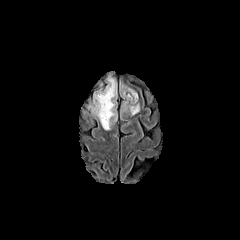
FLAIR MR.
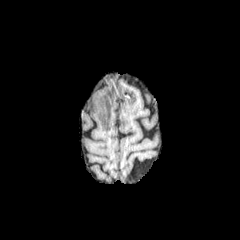
Same slice, T1-weighted MR.
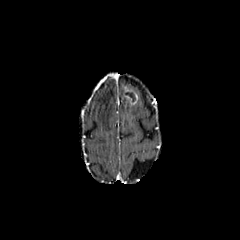
Post-contrast T1-weighted MRI of the same slice.
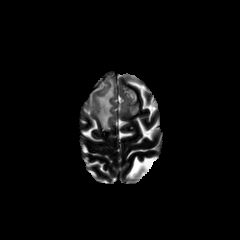
T2-weighted MR image of the same slice.
Image size 240x240
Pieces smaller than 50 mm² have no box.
The 2 largest peritumoral edema regions are bounded by (123,99,139,115), (90,75,116,130). The enhancing tumor is located at (123,86,138,105). The necrotic tumor core lies within (126,92,135,101).